Slice index 62. 240x240 px.
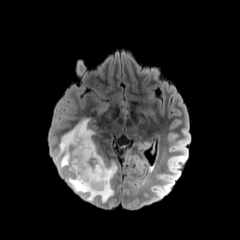
FLAIR MR image.
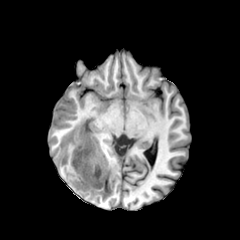
T1-weighted MRI.
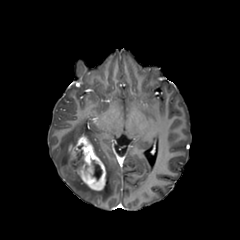
Post-contrast T1-weighted MRI of the same slice.
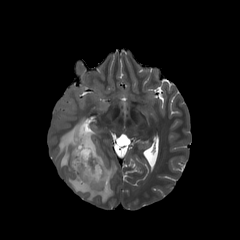
T2-weighted MR image of the same slice.
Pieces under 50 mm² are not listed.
peritumoral edema — [55,118,117,202]
necrotic tumor core — [76,144,84,167], [92,160,102,180]
enhancing tumor — [69,135,106,190]